Image size 240x240; Axial slice; Image width 240 mm, 1.00 mm slice spacing; Brain
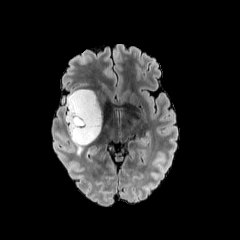
FLAIR MR image.
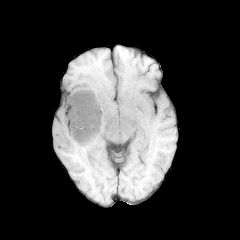
T1-weighted MRI.
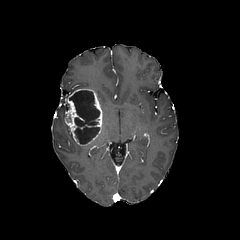
Post-contrast T1-weighted MRI.
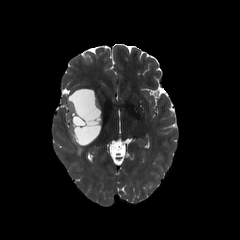
T2-weighted MR image of the same slice.
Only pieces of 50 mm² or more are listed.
necrotic tumor core: bounding box (left=69, top=90, right=99, bottom=144)
peritumoral edema: bounding box (left=68, top=126, right=84, bottom=154)
enhancing tumor: bounding box (left=65, top=88, right=102, bottom=145)